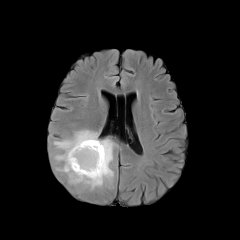
FLAIR magnetic resonance.
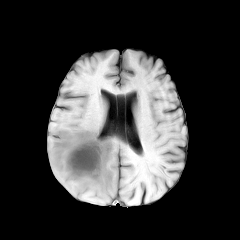
T1-weighted MR image.
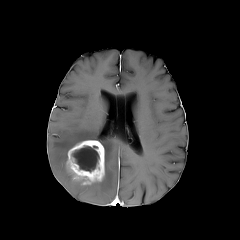
Post-contrast T1-weighted MRI of the same slice.
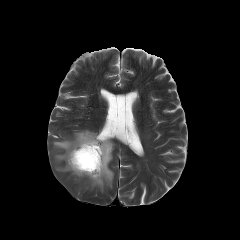
T2-weighted magnetic resonance of the same slice.
Brain | 240x240
enhancing_tumor:
  - 66,140,104,184
peritumoral_edema:
  - 53,129,115,190
necrotic_tumor_core:
  - 72,146,99,171